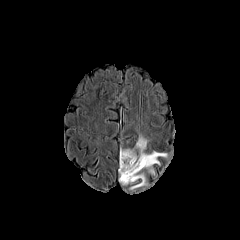
FLAIR magnetic resonance.
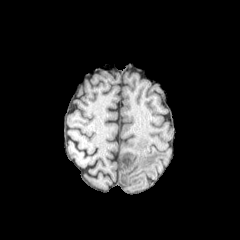
T1-weighted MRI.
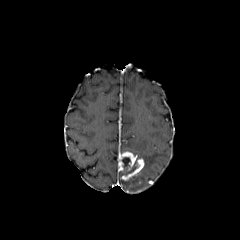
Post-contrast T1-weighted MR image of the same slice.
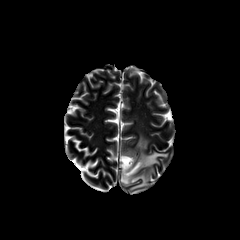
T2-weighted MRI.
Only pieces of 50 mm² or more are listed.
enhancing tumor: bounding box x1=118 y1=151 x2=136 y2=173, x1=121 y1=158 x2=144 y2=180
peritumoral edema: bounding box x1=119 y1=171 x2=147 y2=190, x1=135 y1=135 x2=167 y2=174
necrotic tumor core: bounding box x1=122 y1=157 x2=130 y2=167